Image width 240 mm, 1.00 mm slice spacing
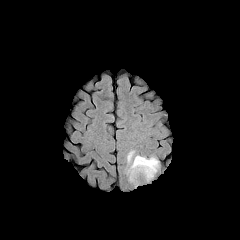
FLAIR MRI.
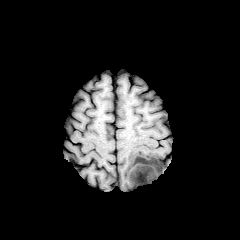
Same slice, T1-weighted MR image.
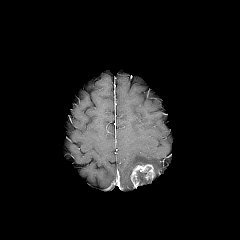
Post-contrast T1-weighted MRI.
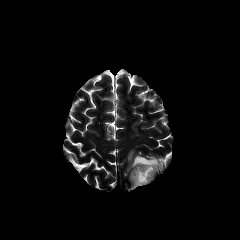
T2-weighted MR image.
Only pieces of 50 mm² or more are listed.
enhancing tumor: <box>130,164,154,187</box> | necrotic tumor core: <box>137,168,150,184</box> | peritumoral edema: <box>127,150,159,181</box>